Brain, Axial slice, Slice 109/155
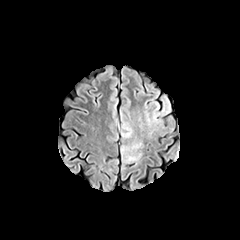
FLAIR magnetic resonance.
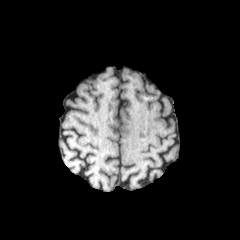
Same slice, T1-weighted MR image.
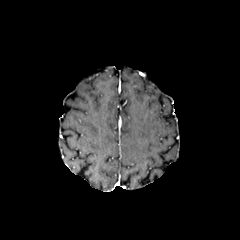
Same slice, post-contrast T1-weighted magnetic resonance.
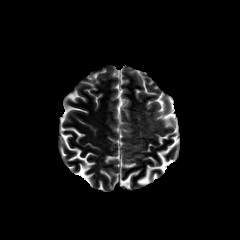
Same slice, T2-weighted MRI.
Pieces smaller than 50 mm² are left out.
The 2 largest peritumoral edema regions are located at region(122, 123, 132, 137); region(122, 143, 140, 153).